Head. Image width 240 mm. 240x240 px.
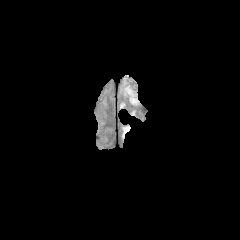
FLAIR magnetic resonance.
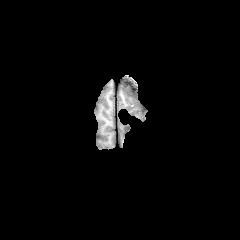
T1-weighted magnetic resonance.
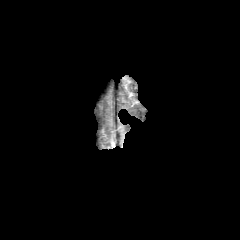
Post-contrast T1-weighted MRI.
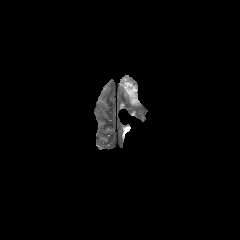
Same slice, T2-weighted MR.
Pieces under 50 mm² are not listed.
<segmentation>
  <peritumoral_edema>bbox=[123, 81, 138, 104]</peritumoral_edema>
</segmentation>